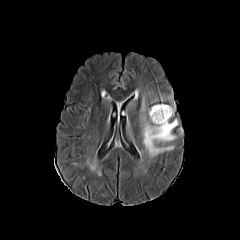
FLAIR MR.
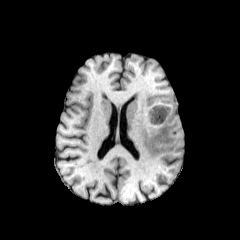
Same slice, T1-weighted MR image.
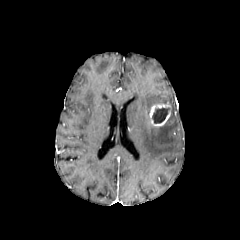
Post-contrast T1-weighted MR image.
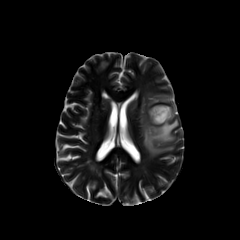
T2-weighted MR of the same slice.
Brain.
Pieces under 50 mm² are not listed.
enhancing tumor: bounding box x1=149, y1=104, x2=170, y2=126
necrotic tumor core: bounding box x1=152, y1=107, x2=170, y2=123
peritumoral edema: bounding box x1=140, y1=97, x2=178, y2=157